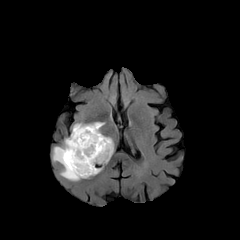
FLAIR magnetic resonance.
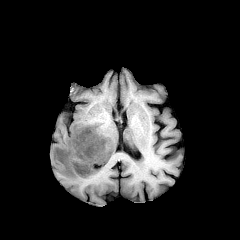
Same slice, T1-weighted magnetic resonance.
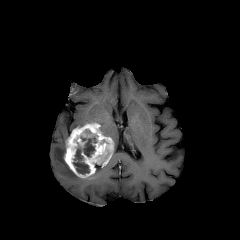
Post-contrast T1-weighted MRI.
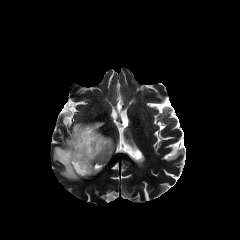
T2-weighted MR image of the same slice.
Image size 240x240; Axial slice; Head
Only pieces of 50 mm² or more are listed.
necrotic_tumor_core:
  - 74:129:97:156
  - 73:148:89:174
enhancing_tumor:
  - 64:123:113:178
peritumoral_edema:
  - 52:138:81:181
  - 72:122:90:130